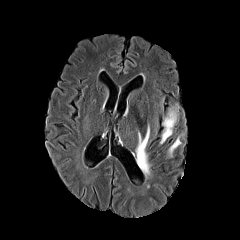
FLAIR MR image.
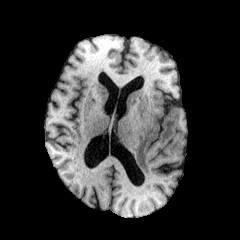
T1-weighted MRI.
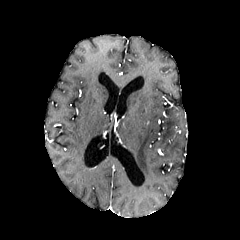
Post-contrast T1-weighted MR of the same slice.
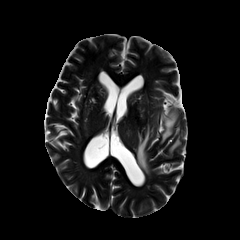
T2-weighted magnetic resonance of the same slice.
Head, Axial view, 240x240
3 peritumoral edema regions are bounded by [160, 109, 176, 143], [169, 138, 180, 156], [136, 125, 149, 174].